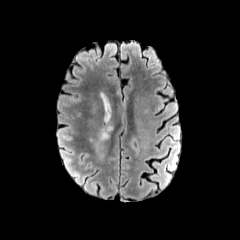
FLAIR magnetic resonance.
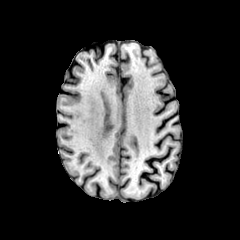
T1-weighted MR image.
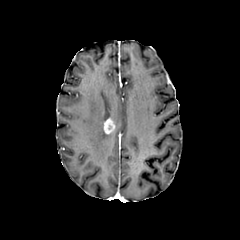
Same slice, post-contrast T1-weighted MR image.
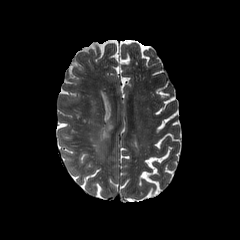
T2-weighted MRI.
Brain; Image size 240x240
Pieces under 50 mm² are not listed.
enhancing tumor: bbox=[104, 119, 114, 133]
peritumoral edema: bbox=[100, 128, 108, 140]; bbox=[101, 93, 109, 111]